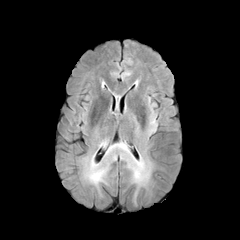
FLAIR MR.
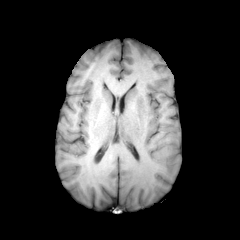
T1-weighted magnetic resonance.
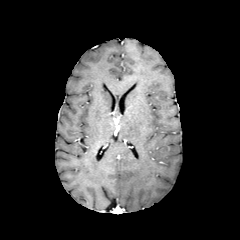
Post-contrast T1-weighted MRI.
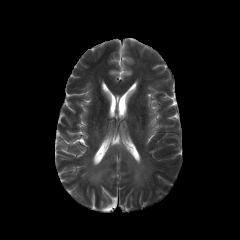
Same slice, T2-weighted MRI.
Axial slice | Brain
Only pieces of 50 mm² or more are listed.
<segmentation>
  <peritumoral_edema>85, 160, 106, 184; 150, 117, 156, 132; 106, 142, 151, 187</peritumoral_edema>
</segmentation>